Head.
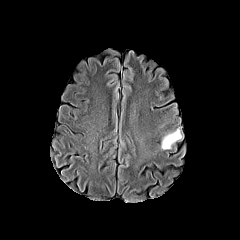
FLAIR magnetic resonance.
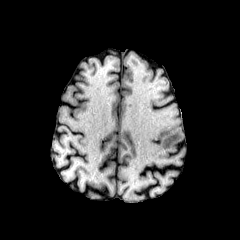
T1-weighted MR image.
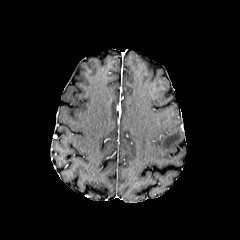
Post-contrast T1-weighted MR of the same slice.
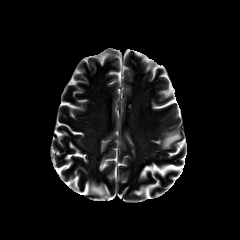
T2-weighted MR.
Findings:
* peritumoral edema: (161, 128, 181, 149)